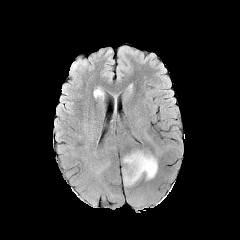
FLAIR magnetic resonance.
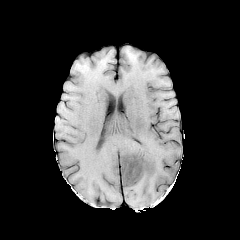
T1-weighted magnetic resonance.
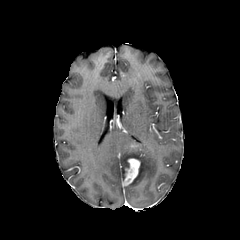
Post-contrast T1-weighted MRI.
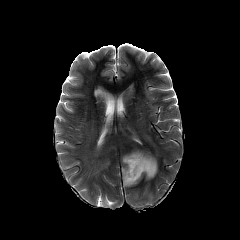
T2-weighted MR image of the same slice.
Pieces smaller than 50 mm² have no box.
Annotated regions:
* peritumoral edema: (x1=122, y1=150, x2=157, y2=186)
* enhancing tumor: (x1=123, y1=158, x2=140, y2=185)